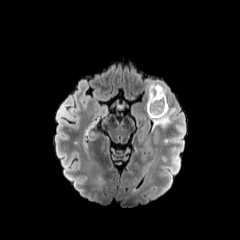
FLAIR magnetic resonance.
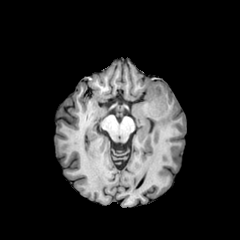
T1-weighted magnetic resonance.
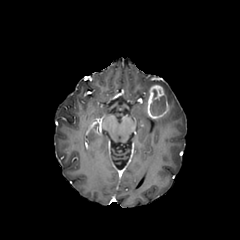
Same slice, post-contrast T1-weighted MR image.
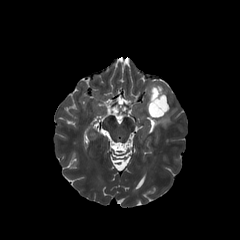
T2-weighted MR.
peritumoral edema: bounding box 152 108 175 126, 146 81 167 110
necrotic tumor core: bounding box 150 89 165 115
enhancing tumor: bounding box 147 84 169 118